Slice 75 of 155. Axial slice. Brain. Image size 240x240.
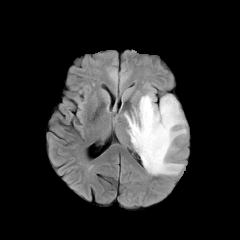
FLAIR MRI.
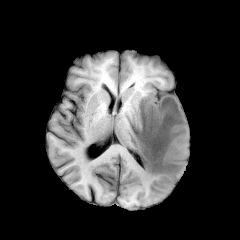
T1-weighted MR image.
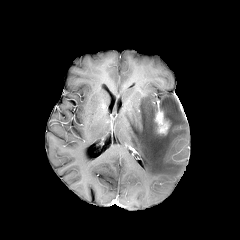
Post-contrast T1-weighted MR.
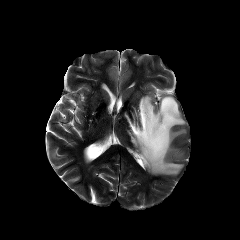
T2-weighted magnetic resonance.
Findings:
- peritumoral edema: region(125, 93, 186, 175)
- enhancing tumor: region(155, 110, 169, 133)